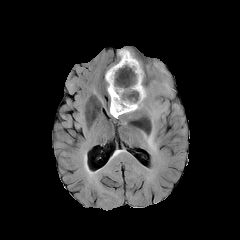
FLAIR magnetic resonance.
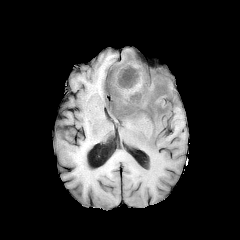
T1-weighted MR image.
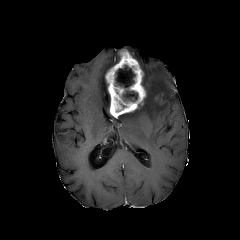
Post-contrast T1-weighted magnetic resonance.
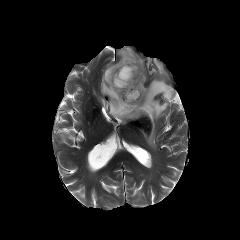
T2-weighted MR image of the same slice.
Axial slice
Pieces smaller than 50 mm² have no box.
Findings:
* necrotic tumor core: left=115, top=65, right=135, bottom=88; left=122, top=90, right=137, bottom=101
* enhancing tumor: left=105, top=49, right=146, bottom=118
* peritumoral edema: left=118, top=48, right=173, bottom=152